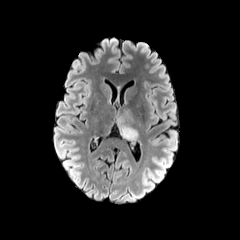
FLAIR magnetic resonance.
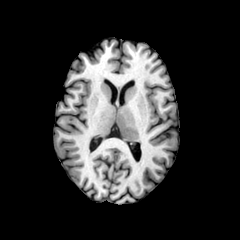
T1-weighted MRI.
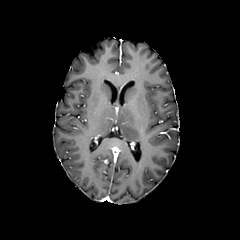
Post-contrast T1-weighted MRI.
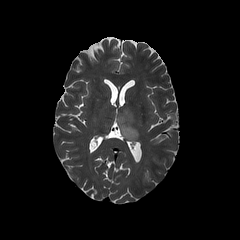
T2-weighted MRI of the same slice.
Brain.
• peritumoral edema: rect(117, 108, 138, 140)